FLAIR MRI.
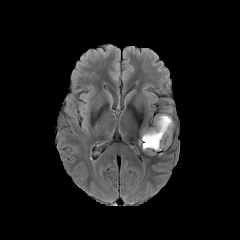
T1-weighted MR.
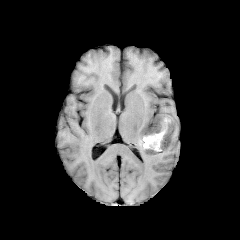
Post-contrast T1-weighted MRI.
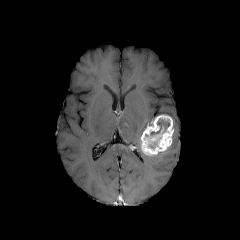
T2-weighted MR image.
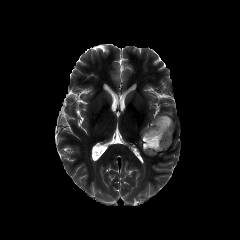
Axial slice. Brain. 240x240 px.
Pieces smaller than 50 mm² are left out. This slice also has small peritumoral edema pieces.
Findings:
• necrotic tumor core: bbox(150, 119, 169, 135)
• enhancing tumor: bbox(141, 114, 173, 155)